FLAIR MR image.
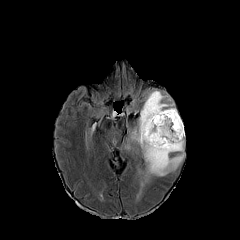
T1-weighted MRI.
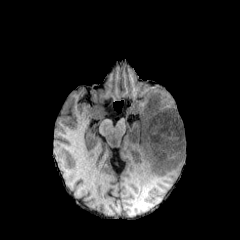
Post-contrast T1-weighted magnetic resonance.
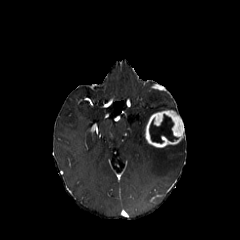
T2-weighted MR.
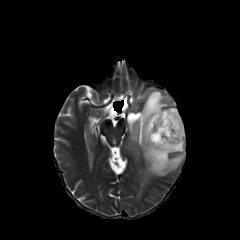
Brain
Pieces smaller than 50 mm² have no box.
Annotated regions:
* enhancing tumor: x1=144, y1=110, x2=184, y2=147
* peritumoral edema: x1=131, y1=90, x2=184, y2=181
* necrotic tumor core: x1=149, y1=114, x2=178, y2=143